FLAIR MR.
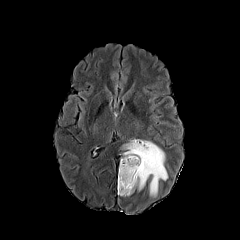
T1-weighted MR image.
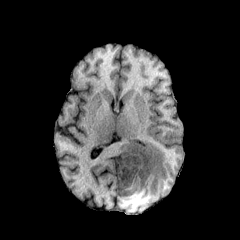
Post-contrast T1-weighted MR.
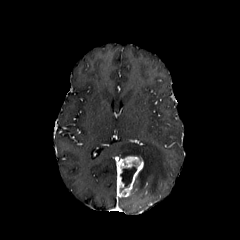
T2-weighted MRI.
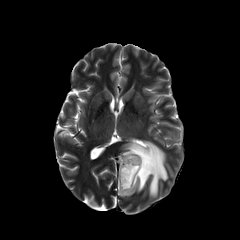
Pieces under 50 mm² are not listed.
- peritumoral edema: (122, 140, 167, 196)
- enhancing tumor: (117, 156, 143, 197)
- necrotic tumor core: (120, 166, 136, 187)